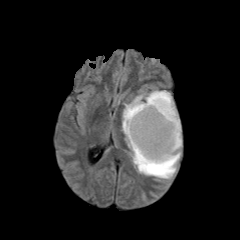
FLAIR magnetic resonance.
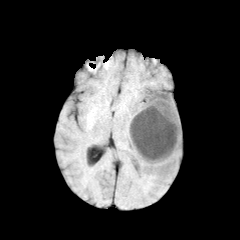
Same slice, T1-weighted MR image.
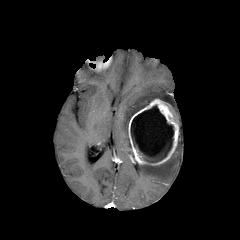
Post-contrast T1-weighted MRI.
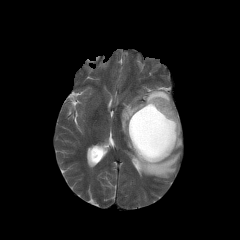
T2-weighted MR.
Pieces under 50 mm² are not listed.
The enhancing tumor is located at <box>128,98,179,165</box>. The 2 largest peritumoral edema regions appear at <box>122,89,177,150</box>, <box>137,116,181,178</box>. The necrotic tumor core is at <box>131,105,173,162</box>.